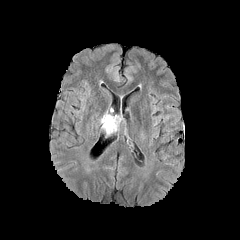
FLAIR MR image.
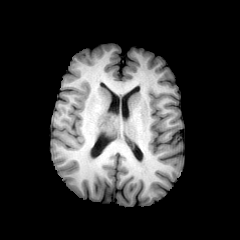
T1-weighted MR image.
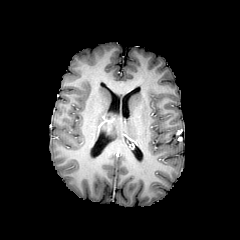
Post-contrast T1-weighted MRI of the same slice.
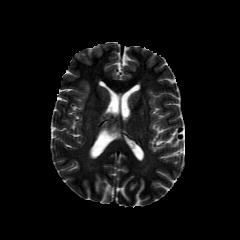
T2-weighted MR image of the same slice.
240x240
peritumoral edema: (101,114,116,132)